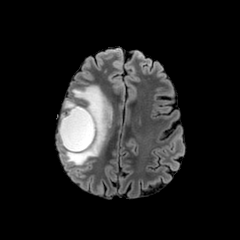
FLAIR MR.
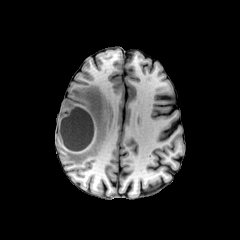
T1-weighted MR.
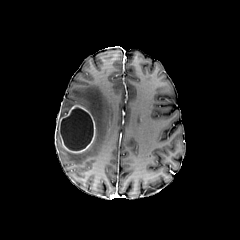
Post-contrast T1-weighted MR.
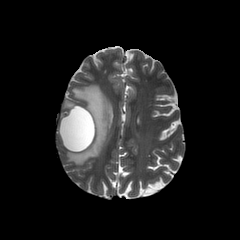
T2-weighted MR image.
Brain. Axial slice.
The enhancing tumor is bounded by region(58, 105, 95, 153). The necrotic tumor core is located at region(60, 107, 93, 150). 2 peritumoral edema regions appear at region(57, 85, 111, 165); region(60, 99, 77, 118).